FLAIR MR image.
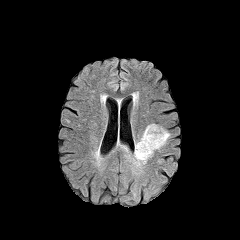
T1-weighted MRI.
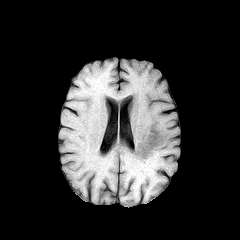
Post-contrast T1-weighted MR image.
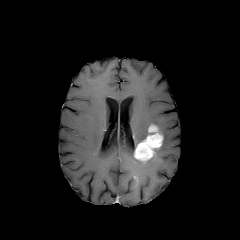
T2-weighted MR image.
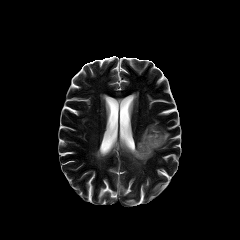
Image size 240x240. Brain.
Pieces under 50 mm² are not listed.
peritumoral edema: [155,126,170,150], [117,140,145,167], [134,125,149,148]
enhancing tumor: [134,124,163,162]